240x240 px; Axial view; Slice index 64
FLAIR MR.
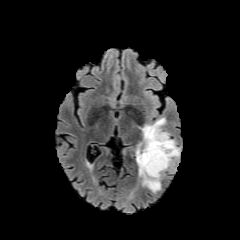
T1-weighted MR.
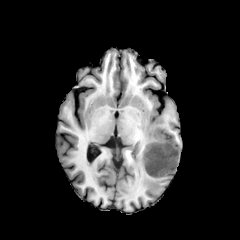
Post-contrast T1-weighted MRI.
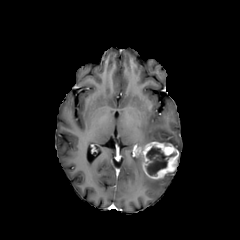
T2-weighted MRI.
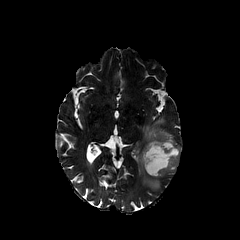
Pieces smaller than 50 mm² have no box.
The 2 largest peritumoral edema regions are bounded by [x1=139, y1=117, x2=180, y2=157], [x1=136, y1=149, x2=161, y2=191]. The largest enhancing tumor region is bounded by [x1=141, y1=141, x2=178, y2=179]. The necrotic tumor core lies within [x1=146, y1=146, x2=175, y2=175].